Axial plane | Brain
FLAIR MR.
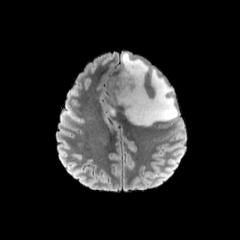
T1-weighted MRI.
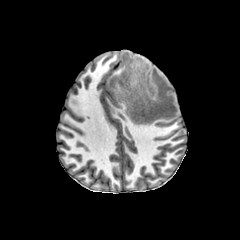
Post-contrast T1-weighted MRI.
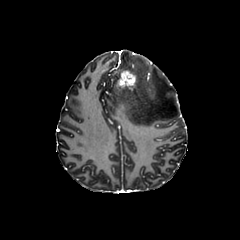
T2-weighted MRI.
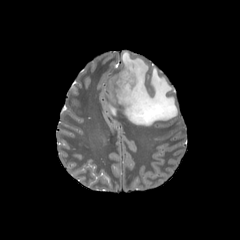
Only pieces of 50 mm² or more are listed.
peritumoral_edema:
  - [x1=116, y1=52, x2=178, y2=126]
enhancing_tumor:
  - [x1=117, y1=70, x2=135, y2=90]